Axial plane | Image covers 240 mm x 240 mm
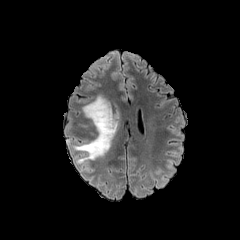
FLAIR MR.
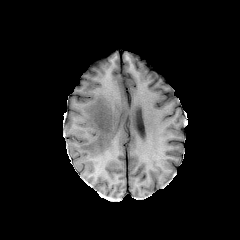
Same slice, T1-weighted MR.
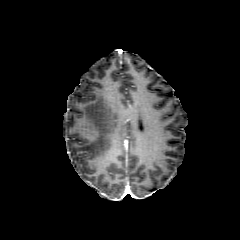
Post-contrast T1-weighted MR of the same slice.
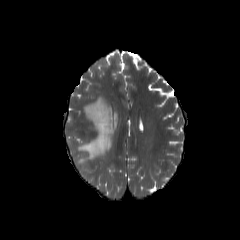
T2-weighted magnetic resonance of the same slice.
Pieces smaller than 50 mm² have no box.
peritumoral edema: <bbox>72, 95, 116, 163</bbox>